FLAIR MR image.
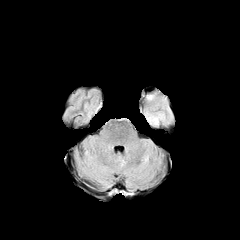
T1-weighted magnetic resonance.
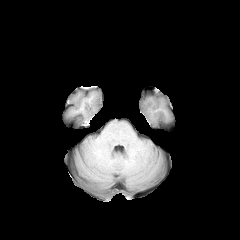
Post-contrast T1-weighted MRI.
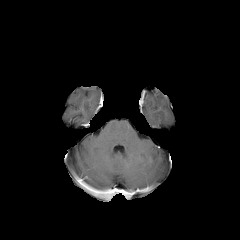
T2-weighted MRI.
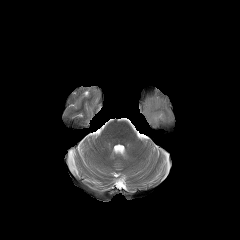
Brain, Axial plane
Annotated regions:
- peritumoral edema: 147 114 163 124